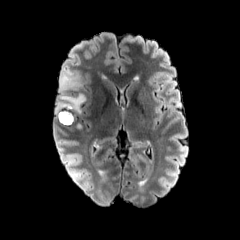
FLAIR MRI.
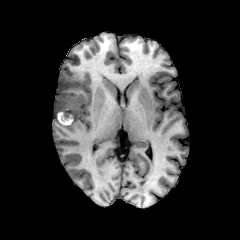
T1-weighted magnetic resonance.
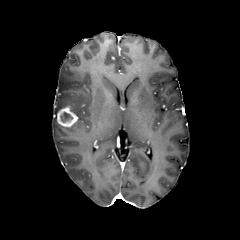
Post-contrast T1-weighted MR image.
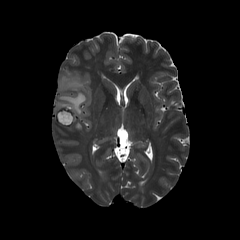
T2-weighted MR image.
Axial slice
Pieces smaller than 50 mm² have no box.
- peritumoral edema: {"x1": 56, "y1": 69, "x2": 86, "y2": 115}
- necrotic tumor core: {"x1": 60, "y1": 112, "x2": 72, "y2": 122}
- enhancing tumor: {"x1": 57, "y1": 105, "x2": 77, "y2": 126}